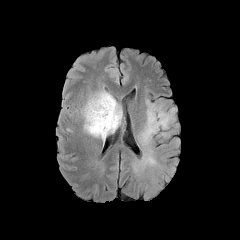
FLAIR magnetic resonance.
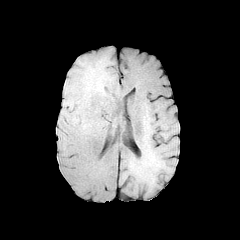
T1-weighted MR.
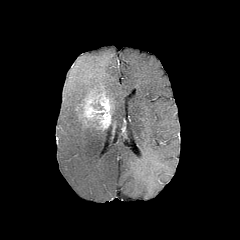
Post-contrast T1-weighted MR.
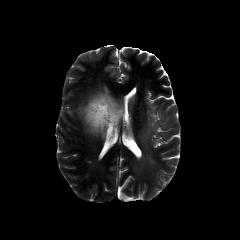
Same slice, T2-weighted MR image.
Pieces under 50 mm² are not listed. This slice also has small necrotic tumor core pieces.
peritumoral edema — 132 98 176 177, 159 124 179 136, 172 138 178 154, 79 90 122 137
enhancing tumor — 83 93 111 129